Slice 93 of 155, Axial slice, Brain, 240x240 px
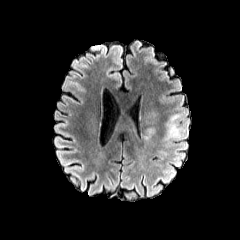
FLAIR MRI.
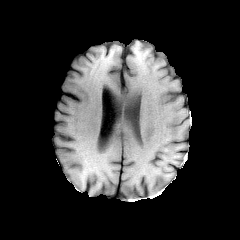
Same slice, T1-weighted MR.
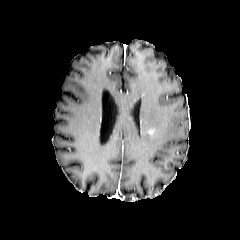
Post-contrast T1-weighted MR image.
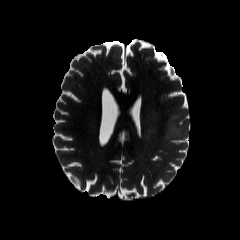
Same slice, T2-weighted MR image.
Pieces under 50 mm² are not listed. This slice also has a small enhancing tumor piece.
peritumoral_edema:
  - (165, 114, 183, 140)
  - (143, 112, 159, 121)
  - (145, 128, 155, 139)